Axial slice, Image size 240x240
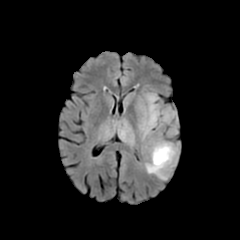
FLAIR MR.
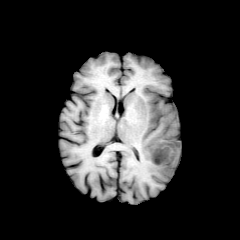
T1-weighted MRI.
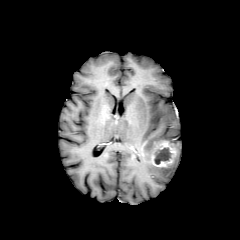
Same slice, post-contrast T1-weighted MR.
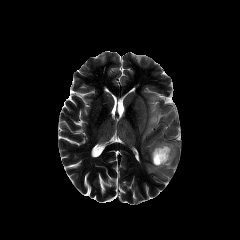
Same slice, T2-weighted MRI.
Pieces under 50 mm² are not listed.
enhancing tumor: region(151, 141, 177, 167)
peritumoral edema: region(145, 139, 179, 180); region(139, 92, 175, 139)
necrotic tumor core: region(154, 148, 171, 164)